Head; 240x240; Slice 132/155
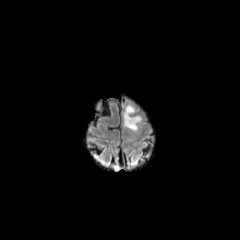
FLAIR MRI.
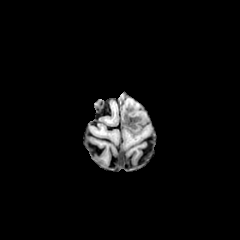
T1-weighted MR image.
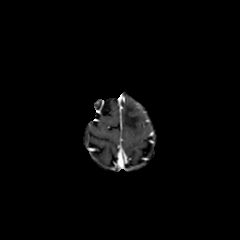
Same slice, post-contrast T1-weighted MR.
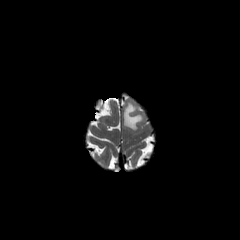
T2-weighted MR.
{
  "peritumoral_edema": [
    "<box>123,103,143,130</box>"
  ]
}